FLAIR MR image.
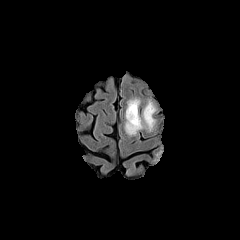
T1-weighted magnetic resonance.
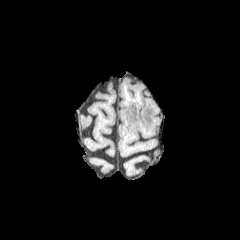
Post-contrast T1-weighted magnetic resonance.
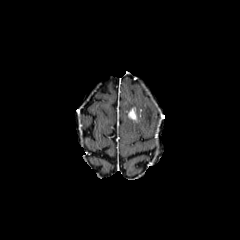
T2-weighted MR.
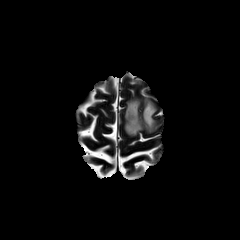
Head
Annotated regions:
- peritumoral edema: [125,99,155,135]
- enhancing tumor: [128,107,137,122]